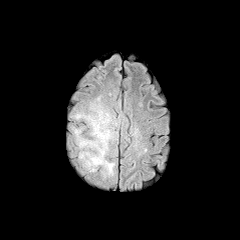
FLAIR MR.
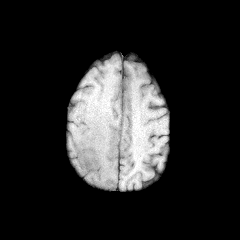
T1-weighted MR.
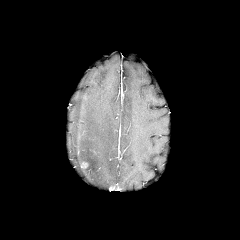
Post-contrast T1-weighted MR.
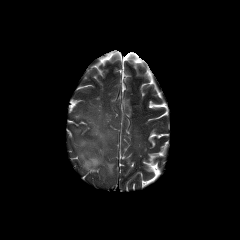
T2-weighted MR image.
Image size 240x240
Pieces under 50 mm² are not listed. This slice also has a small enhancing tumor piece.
<segmentation>
  <peritumoral_edema>{"x1": 73, "y1": 97, "x2": 117, "y2": 178}</peritumoral_edema>
</segmentation>